FLAIR MR image.
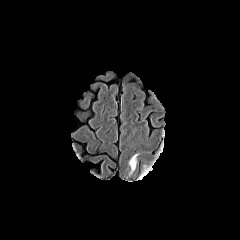
T1-weighted magnetic resonance.
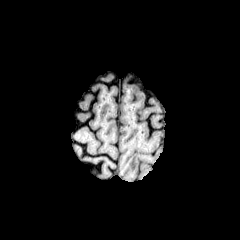
Post-contrast T1-weighted MR image.
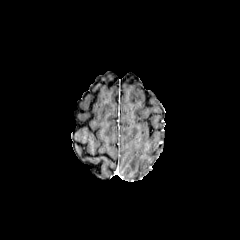
T2-weighted MR.
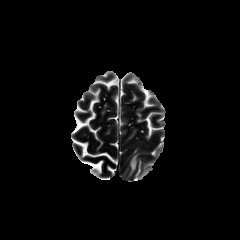
240x240 px.
2 peritumoral edema regions are located at l=139, t=166, r=149, b=178; l=129, t=154, r=137, b=174.